Slice index 97
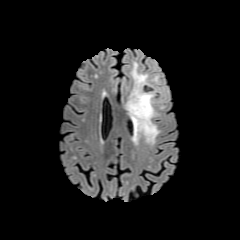
FLAIR MR.
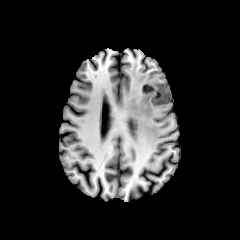
Same slice, T1-weighted MRI.
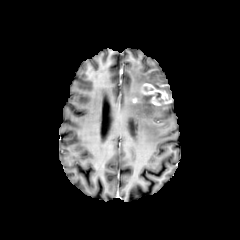
Post-contrast T1-weighted magnetic resonance of the same slice.
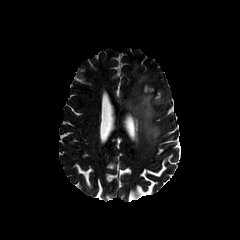
Same slice, T2-weighted MR image.
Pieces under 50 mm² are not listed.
peritumoral edema: rect(126, 63, 160, 144) | enhancing tumor: rect(140, 82, 170, 105)